FLAIR MR image.
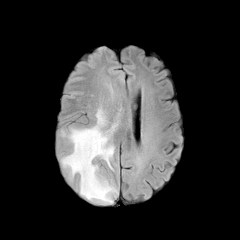
T1-weighted magnetic resonance.
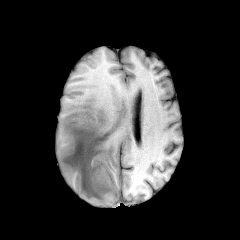
Post-contrast T1-weighted MR image.
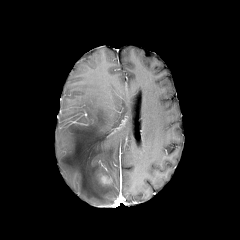
T2-weighted MR image.
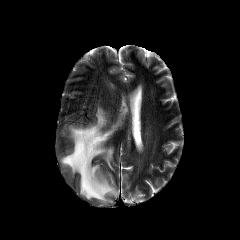
Brain, 240x240, Axial slice
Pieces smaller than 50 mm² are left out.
<segmentation>
  <peritumoral_edema>[60,107,118,204]</peritumoral_edema>
  <enhancing_tumor>[101,176,111,183]</enhancing_tumor>
</segmentation>